Image covers 240 mm x 240 mm | Slice 65 of 155 | Head
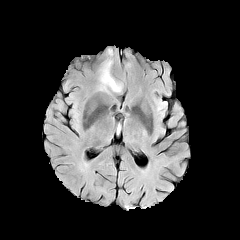
FLAIR MRI.
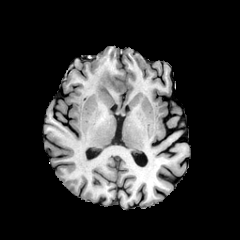
T1-weighted MR.
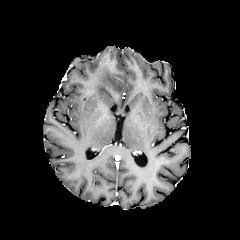
Post-contrast T1-weighted MR image.
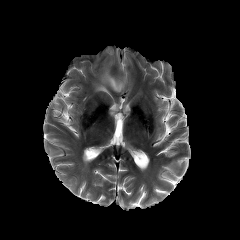
T2-weighted MR.
peritumoral edema = rect(97, 61, 122, 92)